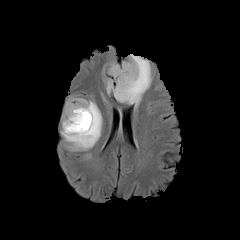
FLAIR MR.
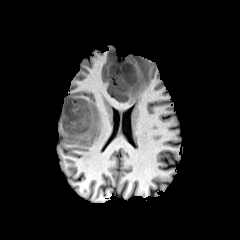
T1-weighted MR of the same slice.
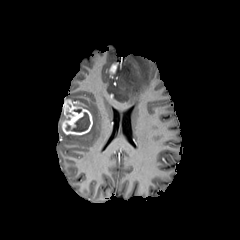
Post-contrast T1-weighted MR.
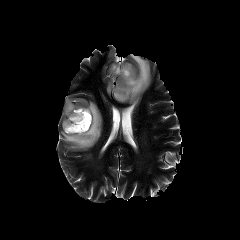
T2-weighted MRI.
Axial view
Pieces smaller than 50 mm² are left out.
peritumoral edema = rect(105, 54, 151, 107); rect(60, 97, 102, 150)
necrotic tumor core = rect(66, 112, 90, 131)
enhancing tumor = rect(109, 63, 117, 73); rect(62, 99, 92, 135)